Head; Slice 67/155; 240x240
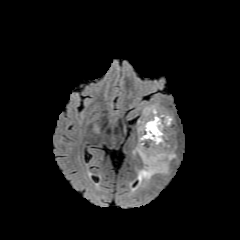
FLAIR MR image.
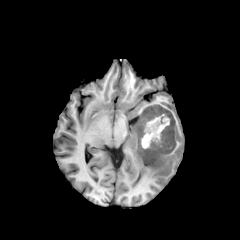
T1-weighted MRI.
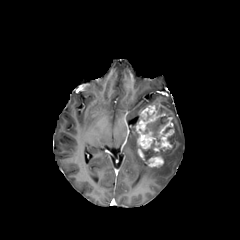
Post-contrast T1-weighted MR.
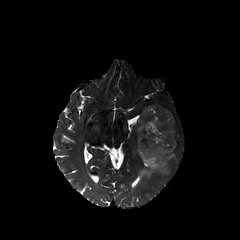
T2-weighted MR.
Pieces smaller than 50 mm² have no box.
Annotated regions:
• necrotic tumor core: (left=141, top=106, right=171, bottom=161)
• peritumoral edema: (left=135, top=149, right=176, bottom=188)
• enhancing tumor: (left=135, top=104, right=167, bottom=160), (left=153, top=116, right=175, bottom=151), (left=144, top=154, right=163, bottom=167)